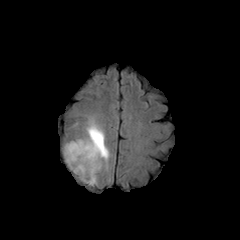
FLAIR MR.
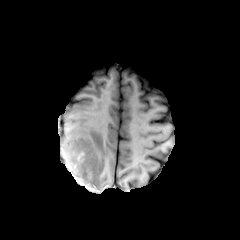
T1-weighted MRI.
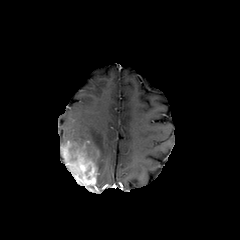
Same slice, post-contrast T1-weighted MRI.
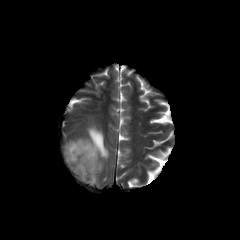
T2-weighted MR image.
Axial view
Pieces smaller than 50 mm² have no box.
Annotated regions:
- enhancing tumor: 62, 140, 98, 186
- peritumoral edema: 70, 121, 109, 172